Slice 59 of 155, Axial view, Brain
FLAIR MR.
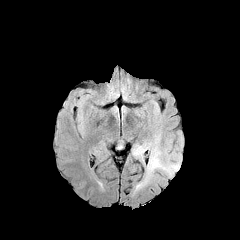
T1-weighted magnetic resonance.
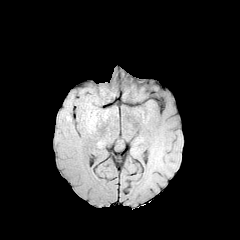
Post-contrast T1-weighted MR.
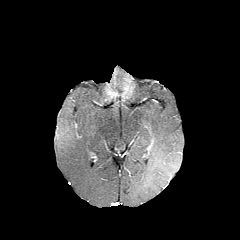
T2-weighted magnetic resonance.
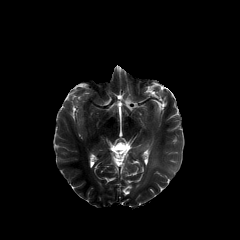
peritumoral edema at <box>132,91,183,188</box>